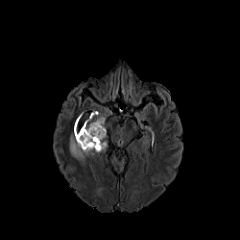
FLAIR magnetic resonance.
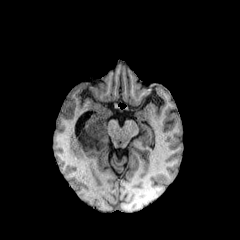
Same slice, T1-weighted MRI.
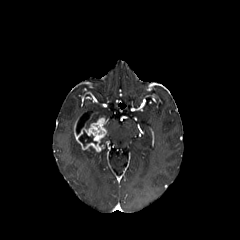
Post-contrast T1-weighted MR.
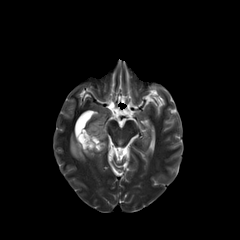
Same slice, T2-weighted MR image.
Head, 240x240, Axial slice
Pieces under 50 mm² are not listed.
Annotated regions:
• necrotic tumor core: [x1=79, y1=131, x2=97, y2=146]
• peritumoral edema: [x1=70, y1=135, x2=95, y2=161], [x1=85, y1=112, x2=105, y2=128]
• enhancing tumor: [x1=74, y1=117, x2=106, y2=152]